FLAIR magnetic resonance.
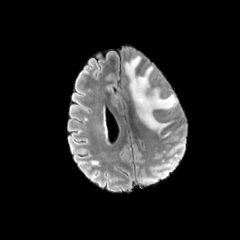
T1-weighted magnetic resonance.
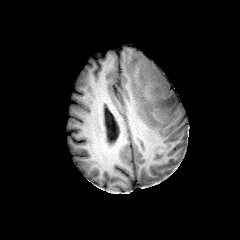
Post-contrast T1-weighted MRI.
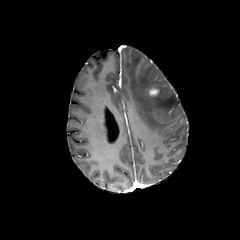
T2-weighted MR image.
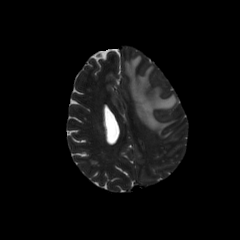
240x240 px
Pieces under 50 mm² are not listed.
The largest peritumoral edema region appears at bbox(124, 56, 177, 133). The enhancing tumor is located at bbox(149, 88, 159, 95).